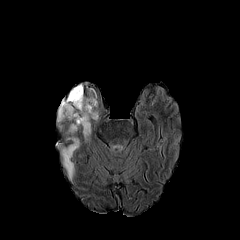
FLAIR MRI.
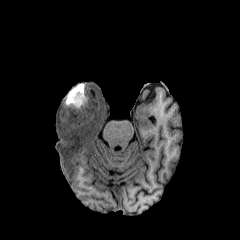
Same slice, T1-weighted magnetic resonance.
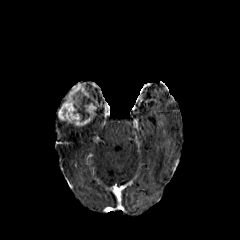
Post-contrast T1-weighted MRI.
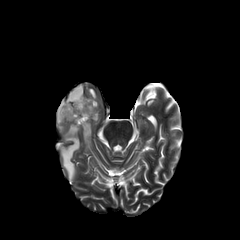
T2-weighted MR of the same slice.
240x240, Brain
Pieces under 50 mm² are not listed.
{
  "enhancing_tumor": [
    "rect(58, 86, 98, 127)"
  ],
  "peritumoral_edema": [
    "rect(83, 122, 90, 140)",
    "rect(61, 124, 79, 179)"
  ],
  "necrotic_tumor_core": [
    "rect(67, 84, 94, 120)",
    "rect(86, 87, 97, 100)"
  ]
}